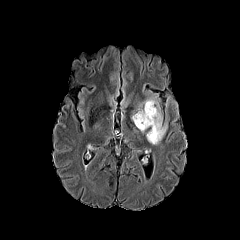
FLAIR MRI.
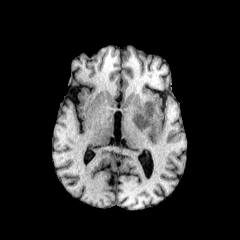
T1-weighted MRI of the same slice.
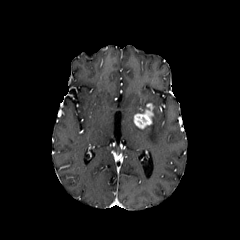
Post-contrast T1-weighted MR image of the same slice.
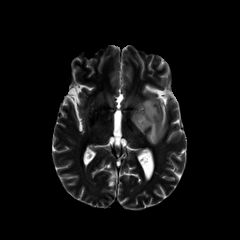
T2-weighted MR image of the same slice.
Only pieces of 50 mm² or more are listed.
The largest peritumoral edema region is bounded by x1=137, y1=96, x2=167, y2=144. The largest enhancing tumor region is bounded by x1=133, y1=103, x2=153, y2=129.